FLAIR MR.
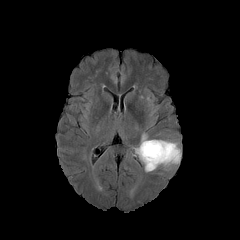
T1-weighted MR image.
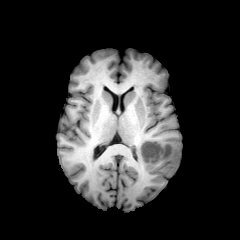
Post-contrast T1-weighted MRI.
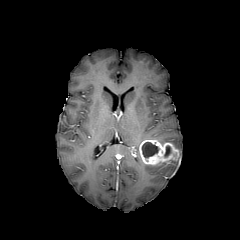
T2-weighted magnetic resonance.
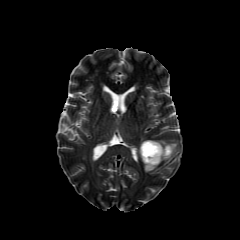
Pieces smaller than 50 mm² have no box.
peritumoral_edema:
  - box(158, 140, 179, 150)
  - box(144, 159, 179, 172)
enhancing_tumor:
  - box(139, 140, 179, 165)
necrotic_tumor_core:
  - box(142, 142, 158, 157)
  - box(164, 146, 171, 156)